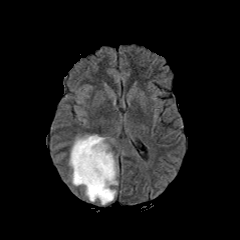
FLAIR magnetic resonance.
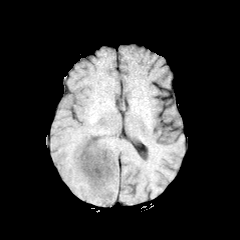
Same slice, T1-weighted MR image.
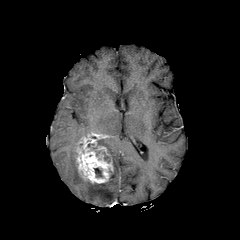
Post-contrast T1-weighted MR.
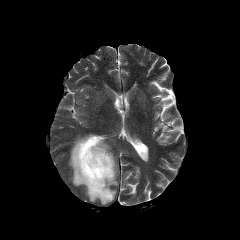
T2-weighted MR image.
Brain
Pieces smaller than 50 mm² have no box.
enhancing tumor at rect(74, 134, 113, 184)
peritumoral edema at rect(69, 137, 117, 204)
necrotic tumor core at rect(94, 168, 102, 176)